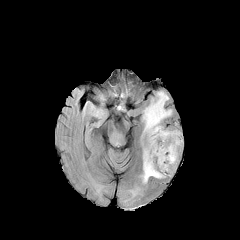
FLAIR MR.
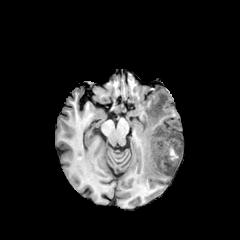
T1-weighted magnetic resonance of the same slice.
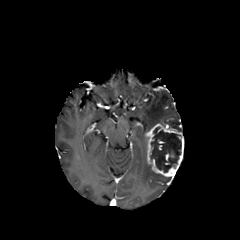
Same slice, post-contrast T1-weighted magnetic resonance.
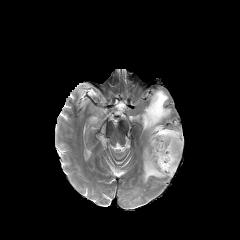
T2-weighted magnetic resonance of the same slice.
Axial view; Image size 240x240; Head
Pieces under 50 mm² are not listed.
{"enhancing_tumor": ["145:123:183:177"], "necrotic_tumor_core": ["150:127:181:172"], "peritumoral_edema": ["142:144:164:183", "142:91:171:132"]}